FLAIR magnetic resonance.
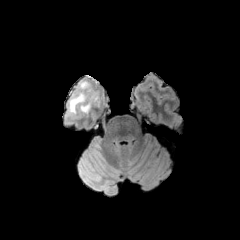
T1-weighted MR image.
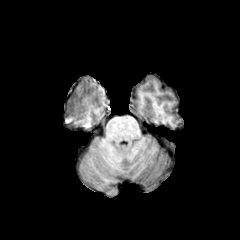
Post-contrast T1-weighted MR image.
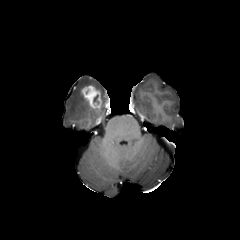
T2-weighted MR.
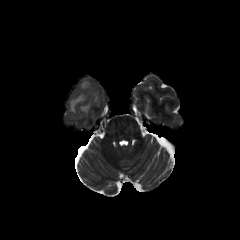
Axial plane
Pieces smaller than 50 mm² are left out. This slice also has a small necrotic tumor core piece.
peritumoral edema: bounding box [68, 79, 96, 113]
enhancing tumor: bounding box [81, 85, 101, 109]